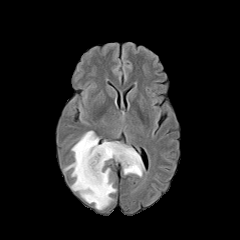
FLAIR MRI.
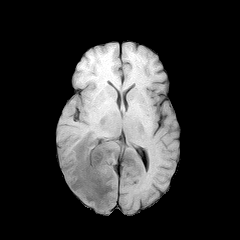
T1-weighted MR image.
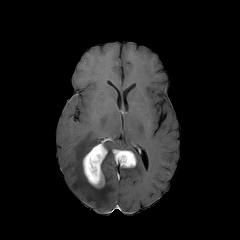
Post-contrast T1-weighted magnetic resonance.
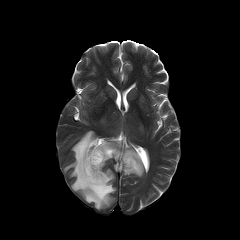
Same slice, T2-weighted magnetic resonance.
240x240. Head.
Annotated regions:
* enhancing tumor: [x1=112, y1=149, x2=136, y2=167], [x1=82, y1=142, x2=107, y2=188]
* peritumoral edema: [x1=64, y1=131, x2=144, y2=209]
* necrotic tumor core: [x1=122, y1=154, x2=129, y2=164], [x1=90, y1=154, x2=100, y2=174]